FLAIR MR image.
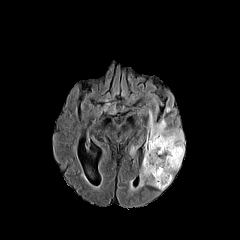
T1-weighted MRI.
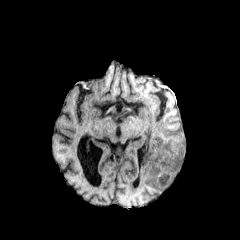
Post-contrast T1-weighted MR.
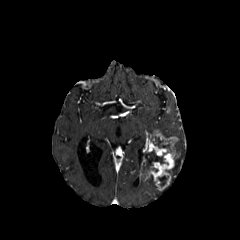
T2-weighted magnetic resonance.
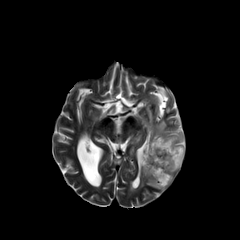
Axial slice.
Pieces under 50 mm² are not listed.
enhancing_tumor:
  - (140, 130, 178, 190)
necrotic_tumor_core:
  - (154, 136, 170, 149)
  - (143, 150, 164, 172)
  - (158, 176, 168, 186)
peritumoral_edema:
  - (148, 111, 184, 179)
  - (148, 175, 156, 187)